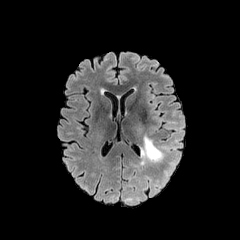
FLAIR magnetic resonance.
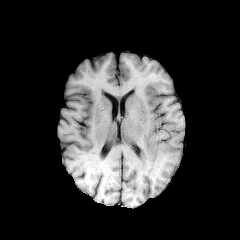
T1-weighted MR.
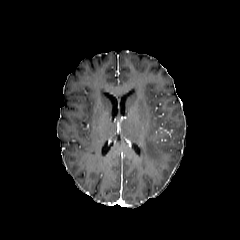
Post-contrast T1-weighted MR image.
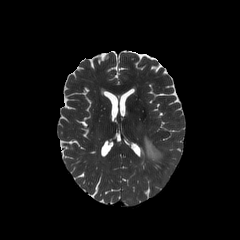
T2-weighted magnetic resonance.
Brain
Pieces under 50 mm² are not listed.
Annotated regions:
• peritumoral edema: (x1=141, y1=134, x2=164, y2=165)